Axial slice | Head | Slice index 79
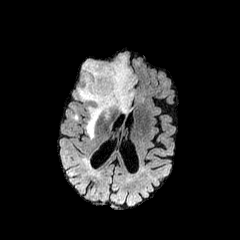
FLAIR MR image.
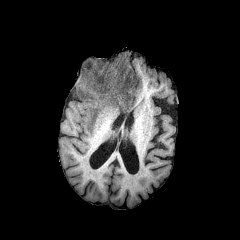
Same slice, T1-weighted MR image.
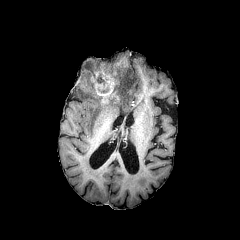
Post-contrast T1-weighted magnetic resonance of the same slice.
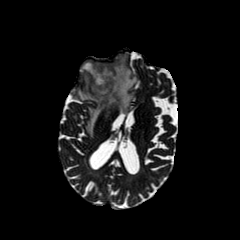
T2-weighted MR.
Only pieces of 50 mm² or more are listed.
Segmented structures:
• necrotic tumor core: <bbox>96, 73, 104, 84</bbox>
• peritumoral edema: <bbox>77, 55, 136, 138</bbox>
• enhancing tumor: <bbox>91, 58, 126, 103</bbox>